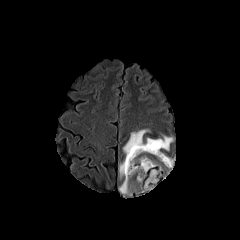
FLAIR magnetic resonance.
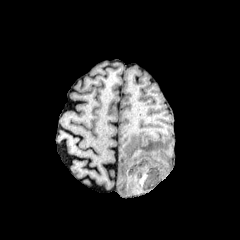
T1-weighted MR.
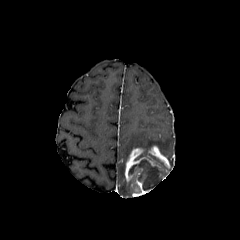
Post-contrast T1-weighted MR of the same slice.
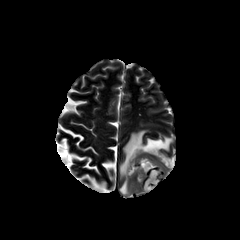
T2-weighted MRI.
Axial slice
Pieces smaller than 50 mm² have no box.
necrotic tumor core: bounding box box=[129, 160, 161, 190]
enhancing tumor: bounding box box=[124, 145, 172, 194]
peritumoral edema: bounding box box=[119, 180, 132, 195]; box=[119, 129, 173, 178]